FLAIR MR image.
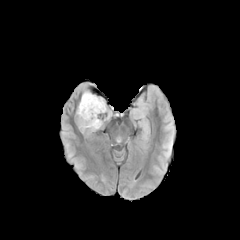
T1-weighted MR.
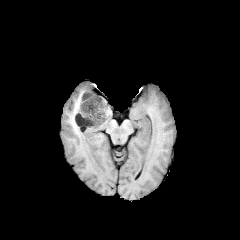
Post-contrast T1-weighted MRI.
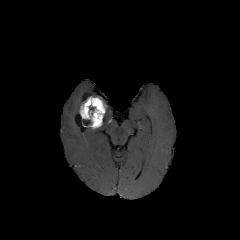
T2-weighted MR image.
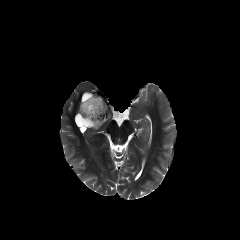
240x240 px
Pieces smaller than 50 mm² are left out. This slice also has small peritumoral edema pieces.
enhancing tumor — bbox=[79, 95, 107, 129]
necrotic tumor core — bbox=[88, 106, 94, 114]